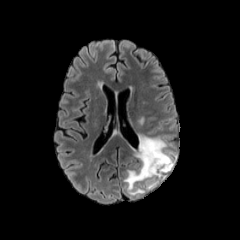
FLAIR magnetic resonance.
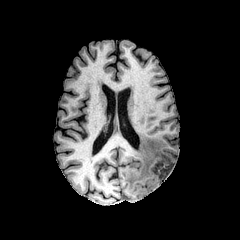
T1-weighted MR image.
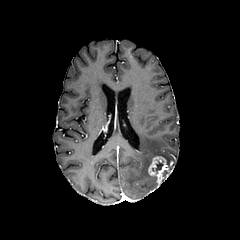
Same slice, post-contrast T1-weighted magnetic resonance.
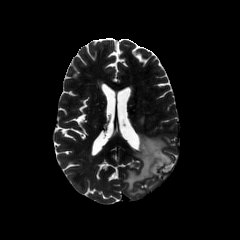
Same slice, T2-weighted MR.
240x240 px | Axial plane
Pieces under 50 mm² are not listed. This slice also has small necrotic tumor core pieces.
Annotated regions:
• enhancing tumor: 148:156:172:183
• peritumoral edema: 124:134:176:195